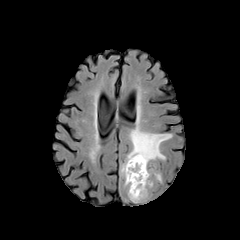
FLAIR magnetic resonance.
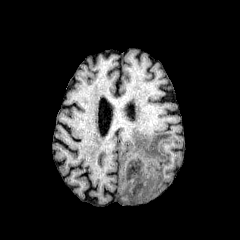
T1-weighted MRI of the same slice.
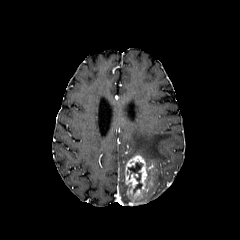
Post-contrast T1-weighted magnetic resonance.
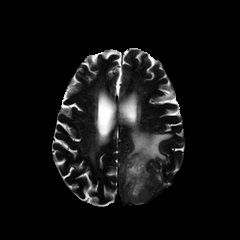
T2-weighted MR image.
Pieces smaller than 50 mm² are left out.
- enhancing tumor: <box>125,155,153,202</box>
- peritumoral edema: <box>120,127,172,175</box>
- necrotic tumor core: <box>128,162,142,192</box>